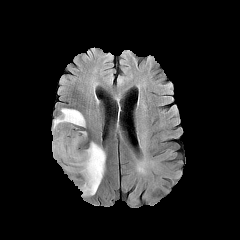
FLAIR MR.
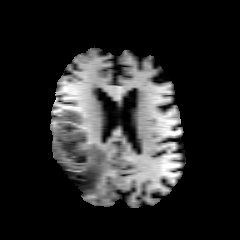
T1-weighted magnetic resonance of the same slice.
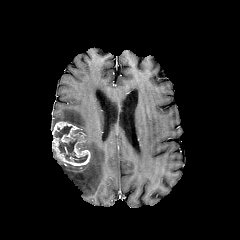
Post-contrast T1-weighted MR image.
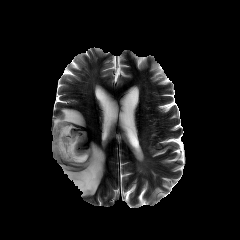
T2-weighted magnetic resonance of the same slice.
Brain
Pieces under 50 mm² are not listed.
necrotic tumor core — (x1=58, y1=137, x2=87, y2=162), (x1=55, y1=126, x2=71, y2=138)
peritumoral edema — (x1=52, y1=108, x2=85, y2=129), (x1=62, y1=142, x2=105, y2=196)
enhancing tumor — (x1=52, y1=121, x2=90, y2=165)